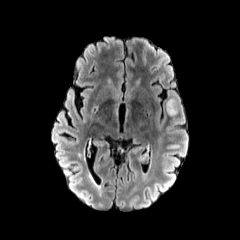
FLAIR MR image.
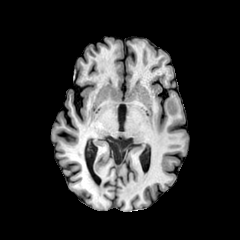
T1-weighted MR.
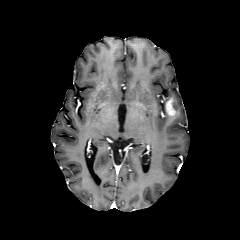
Post-contrast T1-weighted MR image of the same slice.
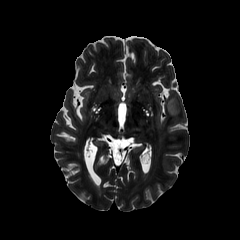
T2-weighted MR.
Axial view, Head
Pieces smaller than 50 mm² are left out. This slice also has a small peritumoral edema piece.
The enhancing tumor is located at 165, 97, 178, 117.